Brain. Image size 240x240. Axial plane.
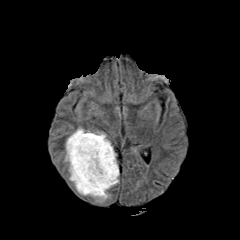
FLAIR magnetic resonance.
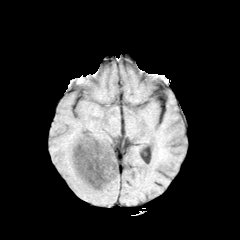
T1-weighted MR image.
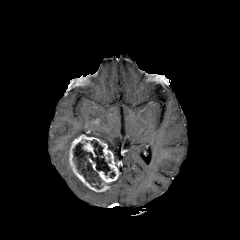
Same slice, post-contrast T1-weighted MRI.
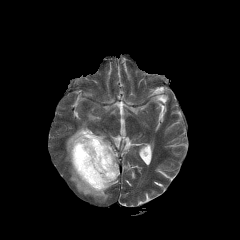
Same slice, T2-weighted magnetic resonance.
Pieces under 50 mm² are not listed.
The largest enhancing tumor region is located at [69,134,119,192]. The largest necrotic tumor core region is at [73,140,110,188]. The 2 largest peritumoral edema regions appear at [68,163,109,201], [65,127,116,161].